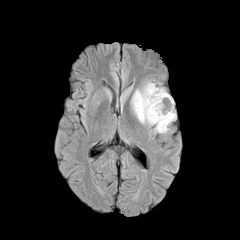
FLAIR MR.
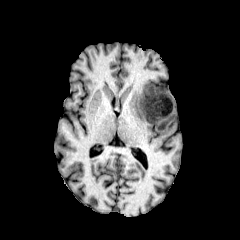
T1-weighted magnetic resonance.
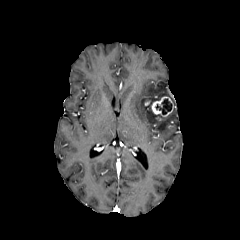
Post-contrast T1-weighted MR image.
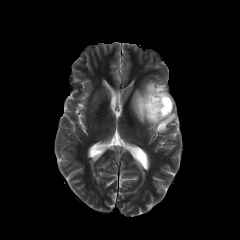
Same slice, T2-weighted MRI.
Brain
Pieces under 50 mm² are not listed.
peritumoral edema — [132,83,176,132]
necrotic tumor core — [156,98,172,114]
enhancing tumor — [150,96,173,116]